Slice index 77. Image width 240 mm.
FLAIR MR.
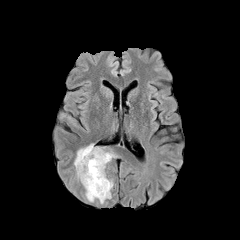
T1-weighted MRI.
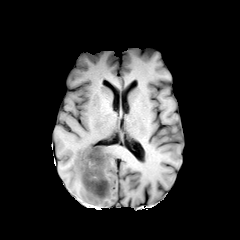
Post-contrast T1-weighted magnetic resonance.
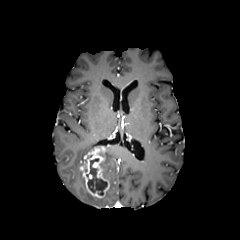
T2-weighted MRI.
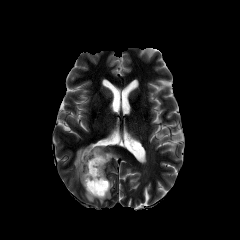
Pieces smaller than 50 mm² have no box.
peritumoral edema — {"x1": 85, "y1": 180, "x2": 113, "y2": 203}, {"x1": 102, "y1": 150, "x2": 116, "y2": 178}, {"x1": 74, "y1": 144, "x2": 93, "y2": 189}
enhancing tumor — {"x1": 79, "y1": 147, "x2": 109, "y2": 198}
necrotic tumor core — {"x1": 88, "y1": 158, "x2": 107, "y2": 195}